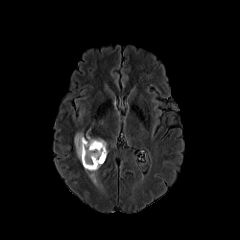
FLAIR MR.
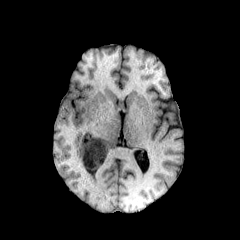
T1-weighted MR of the same slice.
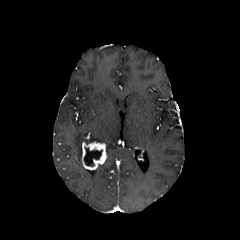
Post-contrast T1-weighted MRI of the same slice.
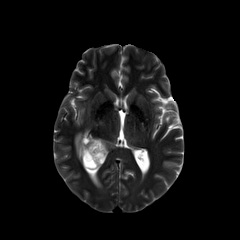
T2-weighted MR image.
Axial slice. Head.
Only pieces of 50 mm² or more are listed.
necrotic tumor core: bbox(84, 147, 102, 166)
peritumoral edema: bbox(74, 132, 108, 162)
enhancing tumor: bbox(82, 141, 106, 169)